Axial view
FLAIR MR.
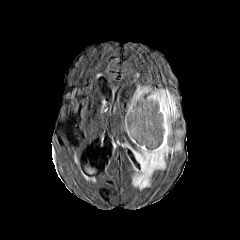
T1-weighted MRI.
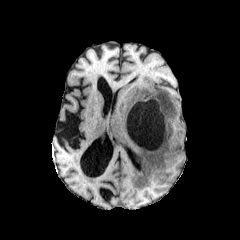
Post-contrast T1-weighted MRI.
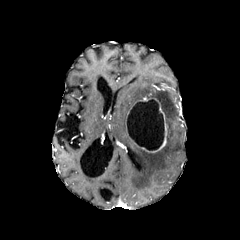
T2-weighted MR image.
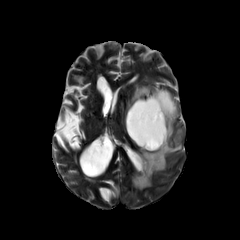
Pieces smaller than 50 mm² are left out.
Segmented structures:
* necrotic tumor core: (126, 98, 164, 150)
* peritumoral edema: (126, 85, 181, 189)
* enhancing tumor: (132, 97, 151, 106), (131, 98, 167, 152)